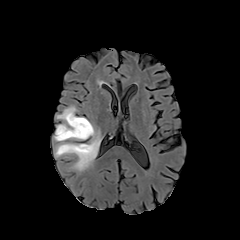
FLAIR MRI.
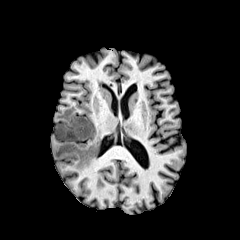
Same slice, T1-weighted MR image.
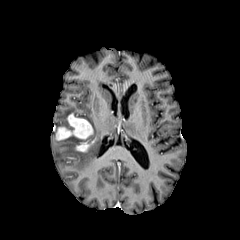
Post-contrast T1-weighted MRI.
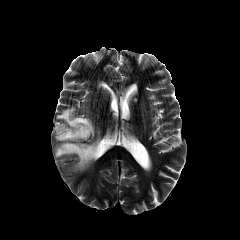
T2-weighted MRI.
Axial slice
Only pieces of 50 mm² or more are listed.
Annotated regions:
• enhancing tumor: box=[56, 113, 93, 140]; box=[75, 140, 94, 152]
• peritumoral edema: box=[56, 106, 77, 131]; box=[54, 119, 101, 171]